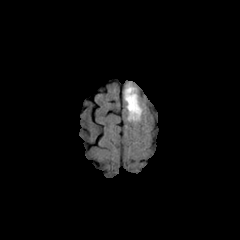
FLAIR MR image.
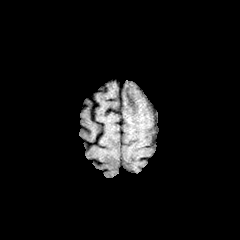
T1-weighted MRI.
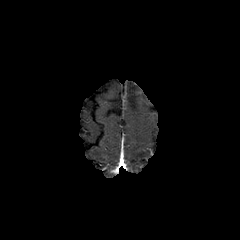
Same slice, post-contrast T1-weighted MRI.
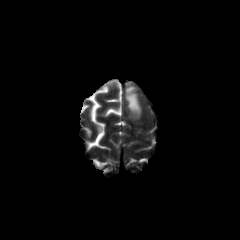
Same slice, T2-weighted magnetic resonance.
peritumoral edema: box=[125, 84, 141, 119]